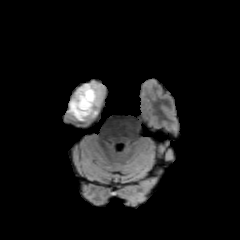
FLAIR MRI.
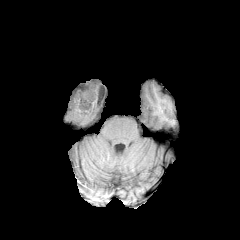
T1-weighted MR.
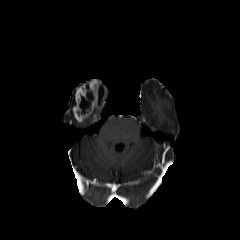
Post-contrast T1-weighted MR image.
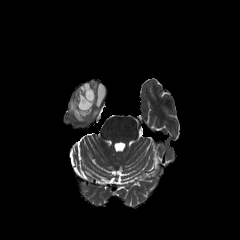
T2-weighted MR.
Axial view; Brain
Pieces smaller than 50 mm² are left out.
Findings:
* peritumoral edema: 69,94,74,115
* enhancing tumor: 72,79,101,122
* necrotic tumor core: 79,84,93,114; 98,85,104,103